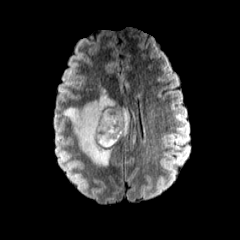
FLAIR MRI.
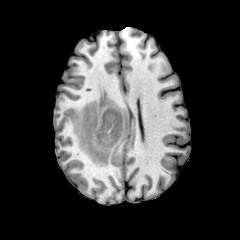
T1-weighted MR image of the same slice.
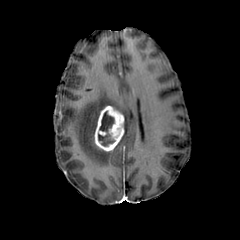
Same slice, post-contrast T1-weighted magnetic resonance.
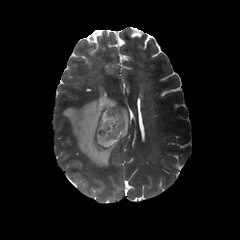
Same slice, T2-weighted MR.
240x240, Brain
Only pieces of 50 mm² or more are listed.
peritumoral edema: box(63, 84, 135, 166) | necrotic tumor core: box(98, 110, 114, 146) | enhancing tumor: box(94, 105, 124, 151)